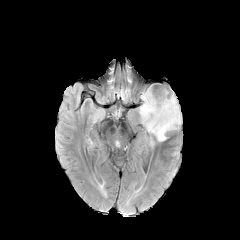
FLAIR MR image.
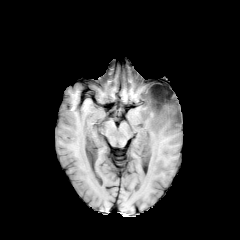
T1-weighted MRI.
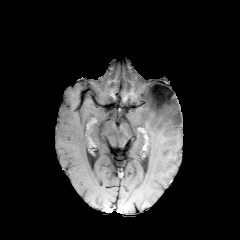
Post-contrast T1-weighted MR.
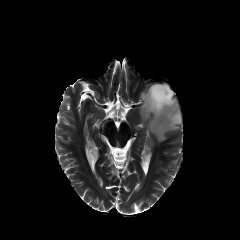
T2-weighted MRI.
240x240; Brain
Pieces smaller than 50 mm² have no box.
The largest peritumoral edema region lies within box=[139, 87, 181, 141]. The necrotic tumor core appears at box=[146, 84, 174, 115].